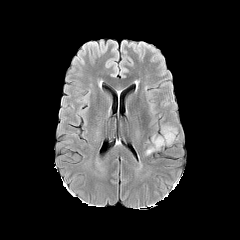
FLAIR MR.
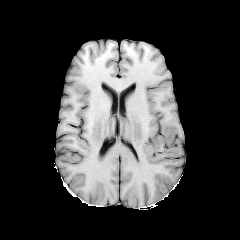
T1-weighted magnetic resonance of the same slice.
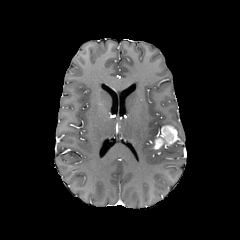
Post-contrast T1-weighted MR of the same slice.
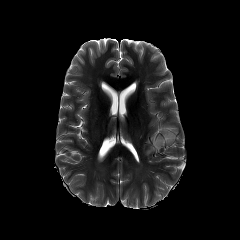
T2-weighted MR.
Image size 240x240 | Axial view | Brain
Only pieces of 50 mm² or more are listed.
enhancing tumor: 153 125 178 149 | peritumoral edema: 145 146 156 154